FLAIR magnetic resonance.
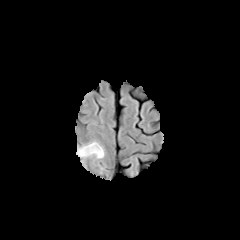
T1-weighted MR.
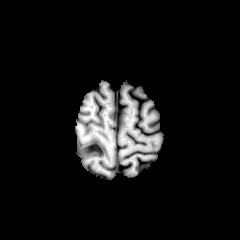
Post-contrast T1-weighted magnetic resonance.
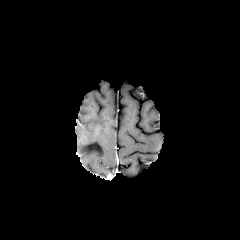
T2-weighted MR.
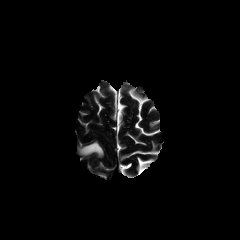
Head | Axial view
peritumoral edema: left=78, top=141, right=104, bottom=158